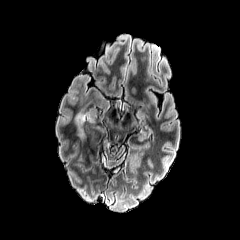
FLAIR magnetic resonance.
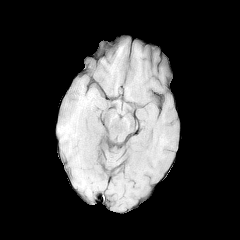
T1-weighted MRI of the same slice.
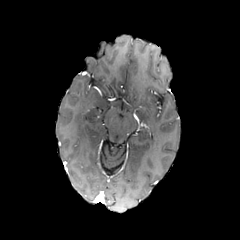
Post-contrast T1-weighted MR of the same slice.
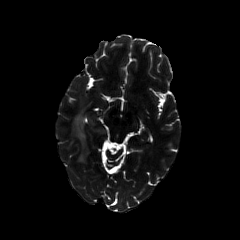
T2-weighted MRI of the same slice.
240x240 px, Axial plane
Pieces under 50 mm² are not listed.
The largest peritumoral edema region appears at 75 113 85 139.